Brain. Axial plane. 240x240 px.
FLAIR MR.
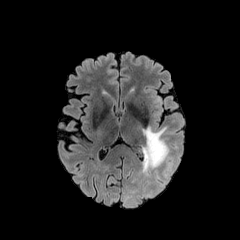
T1-weighted magnetic resonance.
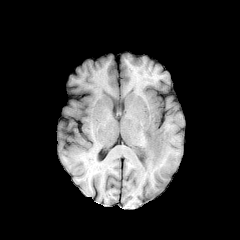
Post-contrast T1-weighted MR.
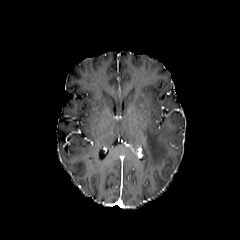
T2-weighted MR image.
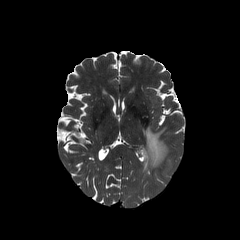
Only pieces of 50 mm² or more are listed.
The largest peritumoral edema region is at box(140, 126, 171, 177).